FLAIR MR.
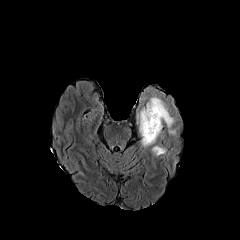
T1-weighted MRI.
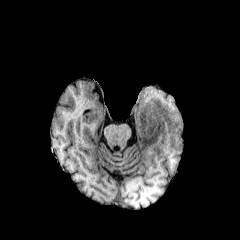
Post-contrast T1-weighted MR image.
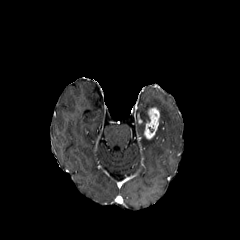
T2-weighted MR image.
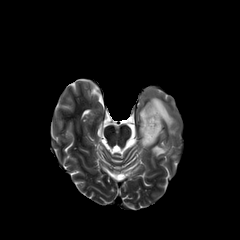
Axial slice | Brain
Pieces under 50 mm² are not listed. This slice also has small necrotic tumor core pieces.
2 peritumoral edema regions are bounded by region(138, 88, 177, 146); region(152, 145, 166, 156). The largest enhancing tumor region lies within region(144, 107, 159, 139).